Slice index 85, Axial view
FLAIR MRI.
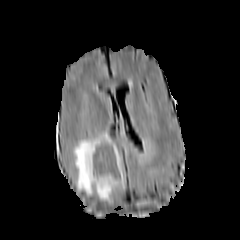
T1-weighted MR.
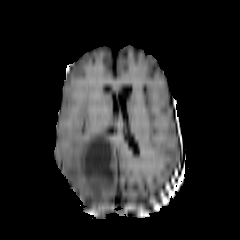
Post-contrast T1-weighted MRI.
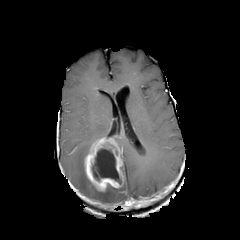
T2-weighted MR.
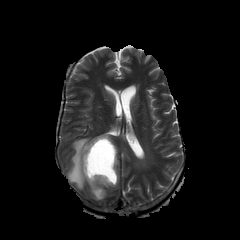
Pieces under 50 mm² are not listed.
The enhancing tumor is located at 84:137:123:191. The largest necrotic tumor core region is located at 92:148:121:184. The largest peritumoral edema region lies within 73:132:116:200.